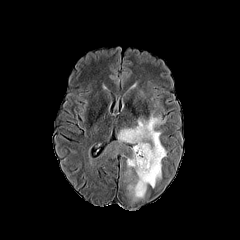
FLAIR MRI.
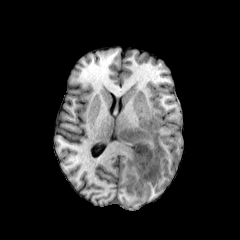
T1-weighted MR.
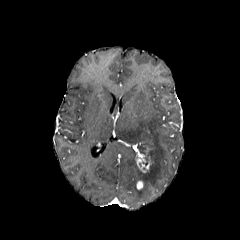
Post-contrast T1-weighted MR.
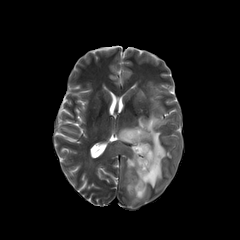
T2-weighted MRI of the same slice.
Image size 240x240, Head
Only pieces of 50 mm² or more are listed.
The largest necrotic tumor core region is at bbox=[137, 144, 146, 154]. 2 enhancing tumor regions are bounded by bbox=[136, 180, 143, 189]; bbox=[133, 142, 154, 173]. The peritumoral edema is bounded by bbox=[105, 109, 166, 200].